FLAIR MRI.
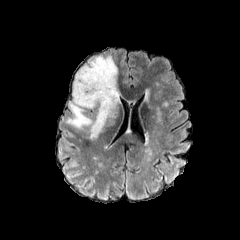
T1-weighted MRI.
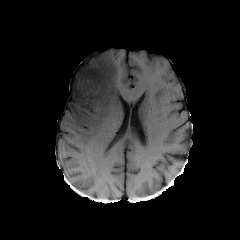
Post-contrast T1-weighted MRI.
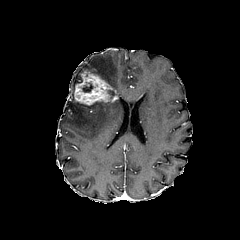
T2-weighted MRI.
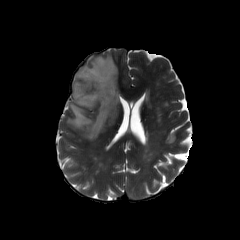
Brain.
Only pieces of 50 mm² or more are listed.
peritumoral edema: [x1=67, y1=55, x2=119, y2=139] | enhancing tumor: [x1=73, y1=69, x2=118, y2=105] | necrotic tumor core: [x1=82, y1=83, x2=92, y2=92]